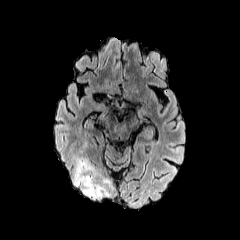
FLAIR MR image.
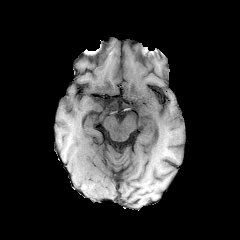
T1-weighted MR of the same slice.
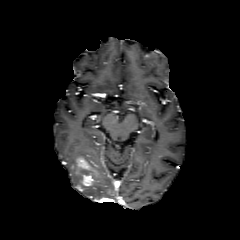
Post-contrast T1-weighted MR image.
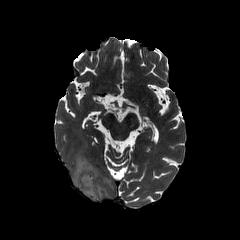
T2-weighted magnetic resonance.
Axial slice | 240x240 px | Brain
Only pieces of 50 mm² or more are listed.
enhancing tumor = (82,174,94,186), (76,157,97,175)
peritumoral edema = (73,154,104,199)